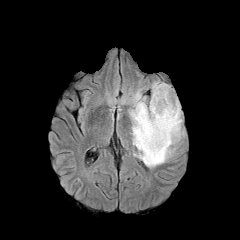
FLAIR magnetic resonance.
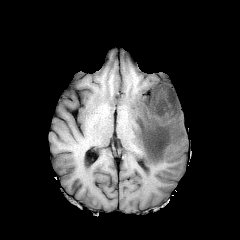
T1-weighted magnetic resonance of the same slice.
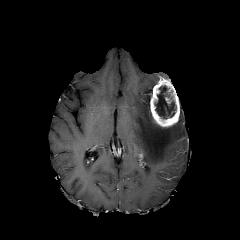
Post-contrast T1-weighted MR image of the same slice.
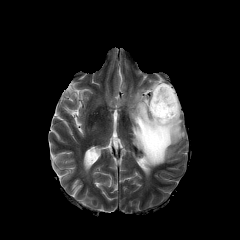
T2-weighted magnetic resonance.
Image size 240x240
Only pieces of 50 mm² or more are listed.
- peritumoral edema: [129, 89, 184, 167]
- enhancing tumor: [150, 77, 180, 127]
- necrotic tumor core: [155, 86, 175, 118]